Brain | Slice index 111 | Image covers 240 mm x 240 mm
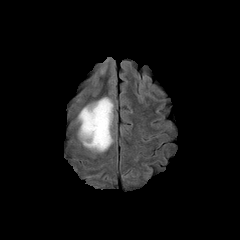
FLAIR MRI.
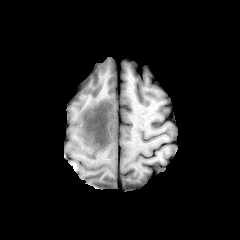
T1-weighted MR.
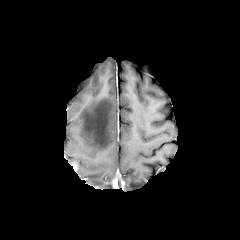
Post-contrast T1-weighted MR image.
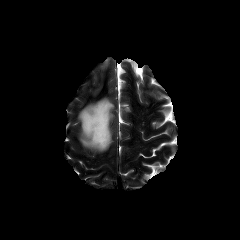
Same slice, T2-weighted MRI.
{"peritumoral_edema": ["l=78, t=97, r=113, b=152"]}